Axial slice; Slice index 39
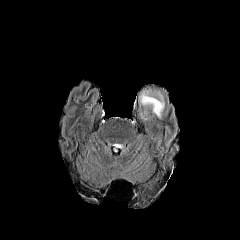
FLAIR magnetic resonance.
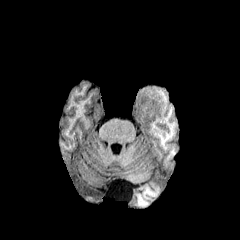
T1-weighted MRI of the same slice.
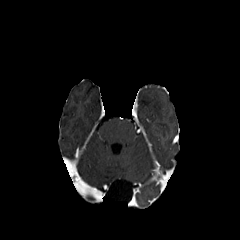
Post-contrast T1-weighted MRI of the same slice.
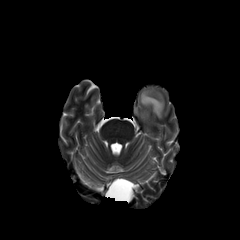
T2-weighted magnetic resonance.
{"peritumoral_edema": ["rect(138, 88, 164, 120)"]}